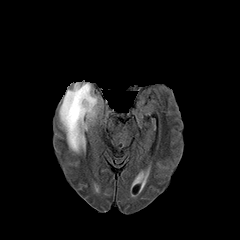
FLAIR MR.
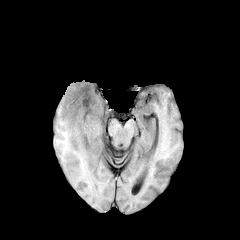
T1-weighted MR of the same slice.
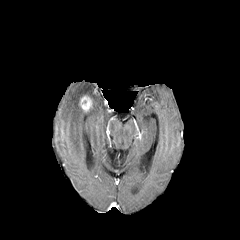
Post-contrast T1-weighted MR image.
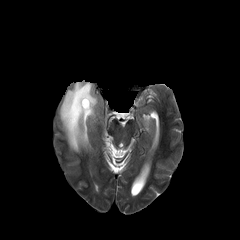
T2-weighted MR image.
Brain
Findings:
• enhancing tumor: region(79, 95, 92, 112)
• peritumoral edema: region(59, 82, 99, 152)